FLAIR MRI.
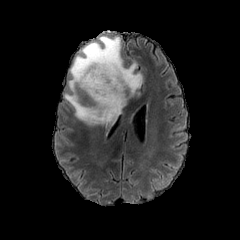
T1-weighted magnetic resonance.
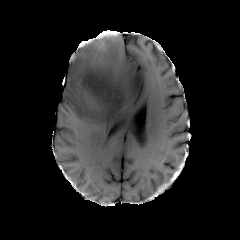
Post-contrast T1-weighted magnetic resonance.
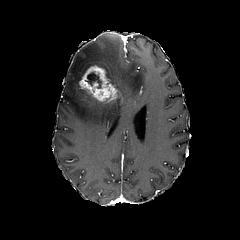
T2-weighted MR.
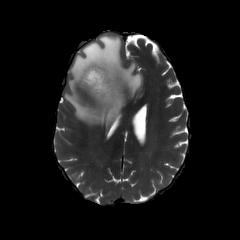
necrotic_tumor_core:
  - (87, 73, 101, 87)
peritumoral_edema:
  - (64, 35, 142, 127)
enhancing_tumor:
  - (79, 62, 124, 103)